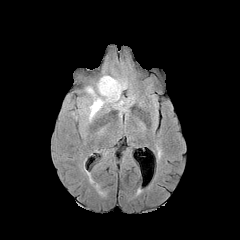
FLAIR MR.
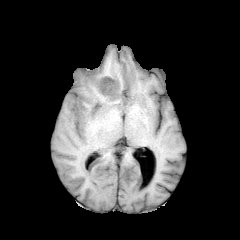
T1-weighted MRI.
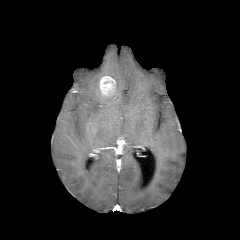
Post-contrast T1-weighted MRI of the same slice.
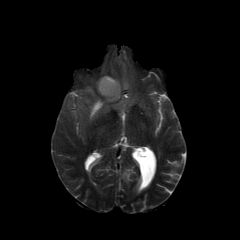
T2-weighted MR of the same slice.
Axial view, Head
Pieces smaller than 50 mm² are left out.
enhancing tumor: 99:76:116:96 | peritumoral edema: 89:80:124:120